FLAIR MR image.
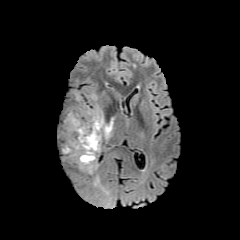
T1-weighted MRI.
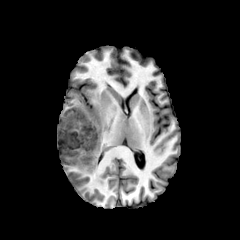
Post-contrast T1-weighted MR.
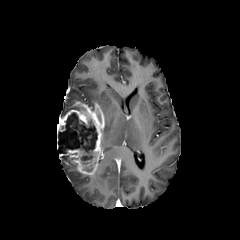
T2-weighted MR.
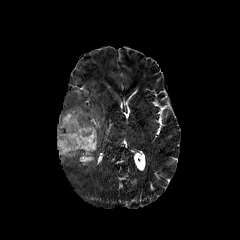
Axial slice
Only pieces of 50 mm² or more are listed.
Segmented structures:
* peritumoral edema: [x1=103, y1=121, x2=112, y2=139]
* enhancing tumor: [x1=57, y1=101, x2=104, y2=174]
* necrotic tumor core: [x1=57, y1=112, x2=97, y2=164]